FLAIR magnetic resonance.
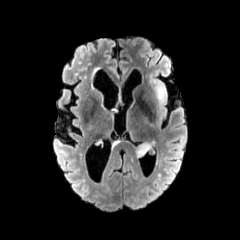
T1-weighted MR.
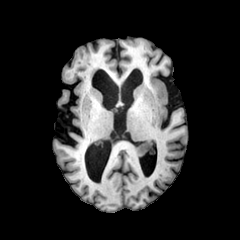
Post-contrast T1-weighted MRI.
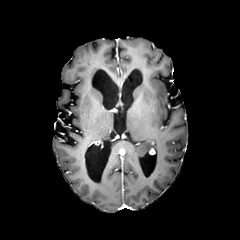
T2-weighted magnetic resonance.
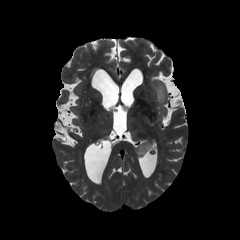
Axial view. Brain.
* peritumoral edema: <box>136,142,153,156</box>